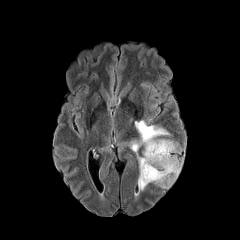
FLAIR MR image.
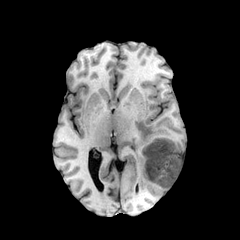
T1-weighted MR image.
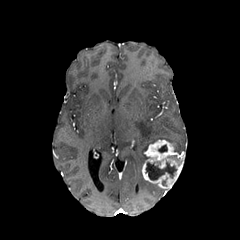
Post-contrast T1-weighted MR.
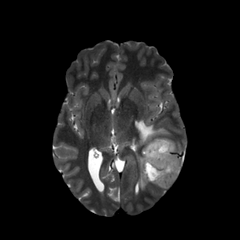
Same slice, T2-weighted MR.
Axial plane | Image size 240x240
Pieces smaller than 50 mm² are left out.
peritumoral_edema:
  - {"x1": 132, "y1": 120, "x2": 169, "y2": 190}
necrotic_tumor_core:
  - {"x1": 146, "y1": 162, "x2": 176, "y2": 180}
  - {"x1": 158, "y1": 145, "x2": 167, "y2": 152}
enhancing_tumor:
  - {"x1": 142, "y1": 139, "x2": 183, "y2": 189}